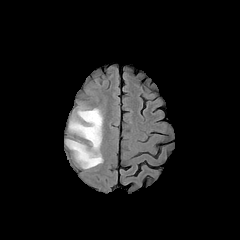
FLAIR MR image.
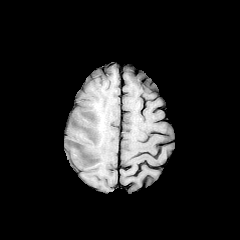
T1-weighted MR image of the same slice.
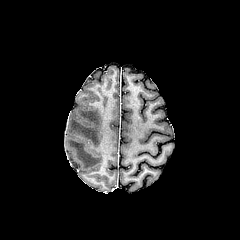
Post-contrast T1-weighted MR.
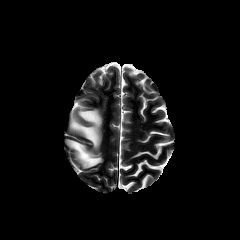
T2-weighted MR.
240x240, Brain, Axial plane
peritumoral edema — (66, 106, 102, 168)